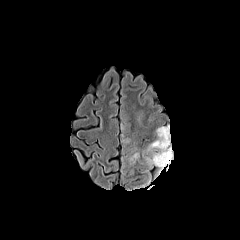
FLAIR MR image.
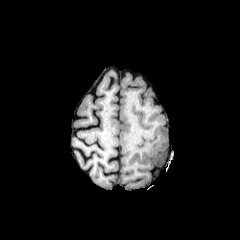
T1-weighted MRI.
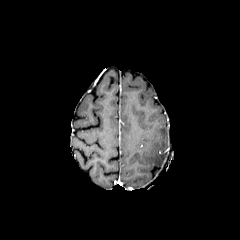
Post-contrast T1-weighted MR of the same slice.
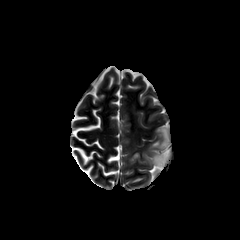
Same slice, T2-weighted MR image.
Axial view.
peritumoral edema: x1=144, y1=126, x2=171, y2=167; x1=120, y1=112, x2=132, y2=143; x1=129, y1=153, x2=139, y2=165